Slice 66/155 | Brain
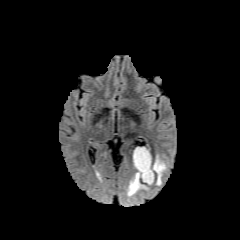
FLAIR MRI.
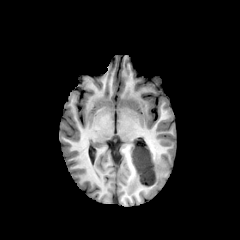
T1-weighted magnetic resonance of the same slice.
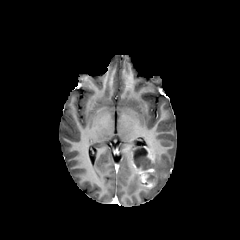
Post-contrast T1-weighted magnetic resonance.
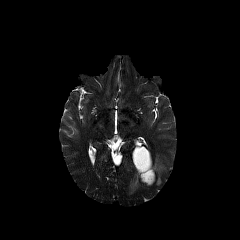
T2-weighted MR image of the same slice.
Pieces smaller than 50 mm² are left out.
The 2 largest peritumoral edema regions are bounded by [x1=127, y1=173, x2=148, y2=196], [x1=152, y1=156, x2=166, y2=185]. 2 enhancing tumor regions are located at [x1=132, y1=153, x2=154, y2=187], [x1=144, y1=147, x2=153, y2=162]. The largest necrotic tumor core region appears at [x1=133, y1=147, x2=152, y2=169].